Image width 240 mm | Brain
FLAIR MRI.
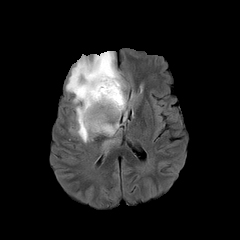
T1-weighted MR image.
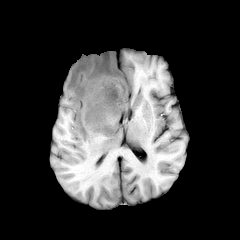
Post-contrast T1-weighted MRI.
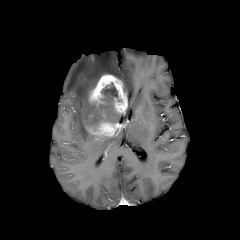
T2-weighted magnetic resonance.
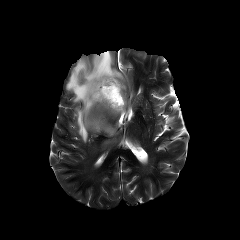
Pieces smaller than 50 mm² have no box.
peritumoral edema: 66 51 126 142 | necrotic tumor core: 100 98 118 123, 101 82 121 101 | enhancing tumor: 83 74 127 136